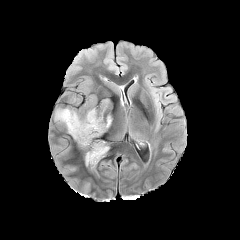
FLAIR MRI.
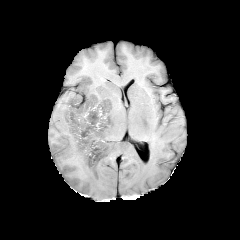
T1-weighted MRI.
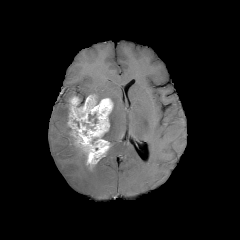
Post-contrast T1-weighted MR image.
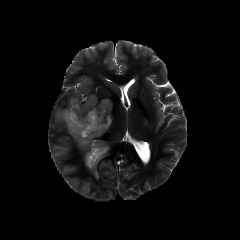
Same slice, T2-weighted MR image.
Axial plane
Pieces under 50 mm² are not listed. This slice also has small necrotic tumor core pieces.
The largest peritumoral edema region is located at [x1=54, y1=107, x2=71, y2=133]. The enhancing tumor is bounded by [x1=67, y1=95, x2=112, y2=169].